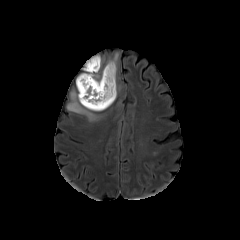
FLAIR MR.
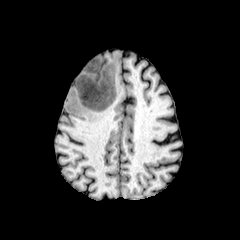
Same slice, T1-weighted MR.
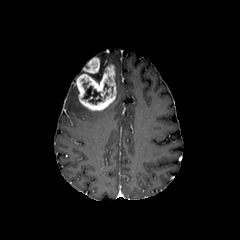
Post-contrast T1-weighted MR image of the same slice.
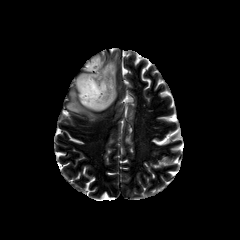
Same slice, T2-weighted MR image.
240x240 px | Brain
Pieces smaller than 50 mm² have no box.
The largest necrotic tumor core region is located at 82 82 102 104. The 2 largest peritumoral edema regions appear at 67 90 101 121, 84 53 118 97. The 2 largest enhancing tumor regions are bounded by 76 64 116 110, 83 57 99 73.